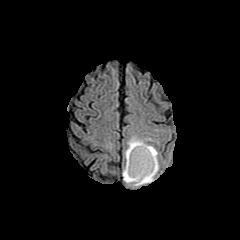
FLAIR magnetic resonance.
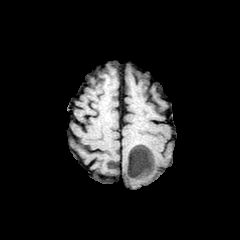
T1-weighted MR image of the same slice.
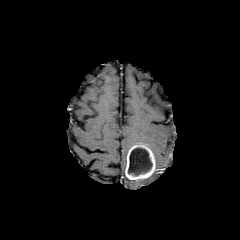
Same slice, post-contrast T1-weighted MR image.
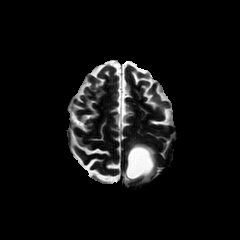
T2-weighted MR image.
Brain | Axial view | 240x240
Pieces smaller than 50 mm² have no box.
The necrotic tumor core is located at <box>128,148,152,175</box>. The enhancing tumor is located at <box>125,143,156,180</box>. The largest peritumoral edema region appears at <box>122,137,158,185</box>.